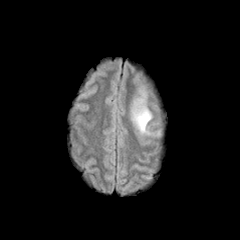
FLAIR MR image.
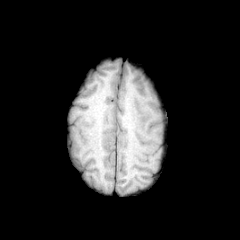
Same slice, T1-weighted MRI.
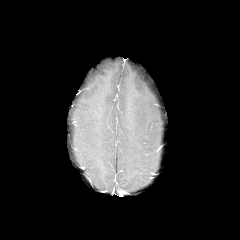
Post-contrast T1-weighted MR of the same slice.
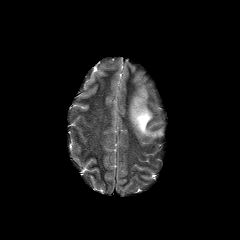
T2-weighted MRI.
Head.
peritumoral edema: rect(131, 91, 160, 136)